240x240 px. Slice index 88. Axial plane. Brain.
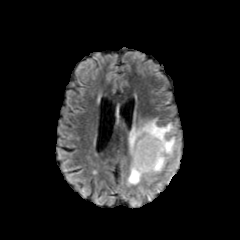
FLAIR MR.
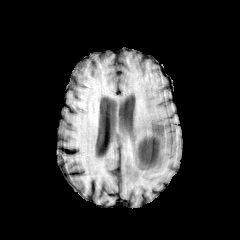
T1-weighted magnetic resonance.
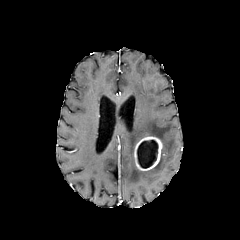
Post-contrast T1-weighted MRI.
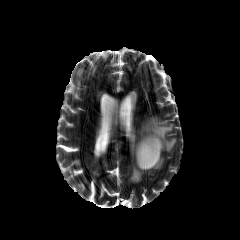
T2-weighted MR image of the same slice.
The enhancing tumor is located at [x1=134, y1=136, x2=162, y2=170]. The peritumoral edema is at [x1=128, y1=118, x2=175, y2=184]. The necrotic tumor core appears at [x1=137, y1=140, x2=158, y2=168].